FLAIR magnetic resonance.
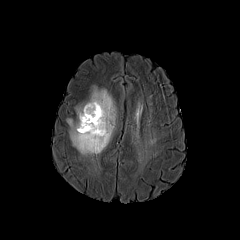
T1-weighted magnetic resonance.
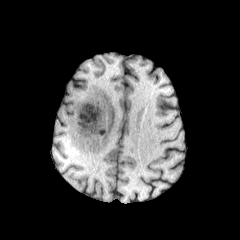
Post-contrast T1-weighted MR image.
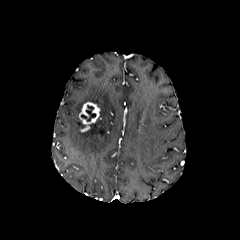
T2-weighted magnetic resonance.
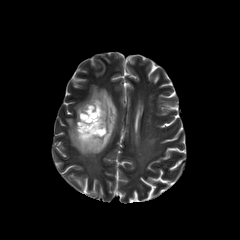
Head, Axial plane
necrotic tumor core: bounding box [x1=81, y1=105, x2=95, y2=121]
enhancing tumor: bounding box [x1=79, y1=102, x2=100, y2=132]
peritumoral edema: bounding box [x1=67, y1=86, x2=116, y2=155]